FLAIR magnetic resonance.
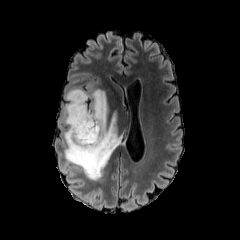
T1-weighted MRI.
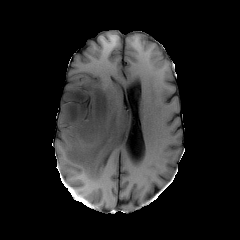
Post-contrast T1-weighted MR image.
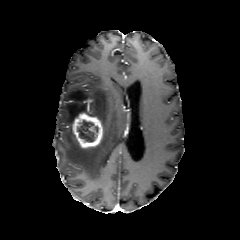
T2-weighted MR image.
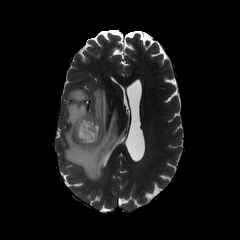
Axial slice; Head
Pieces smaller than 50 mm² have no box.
The enhancing tumor lies within <bbox>72, 112, 104, 148</bbox>. The peritumoral edema lies within <bbox>63, 89, 122, 180</bbox>. The largest necrotic tumor core region is located at <bbox>77, 120, 94, 141</bbox>.